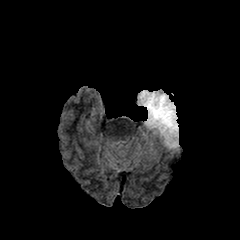
FLAIR MR image.
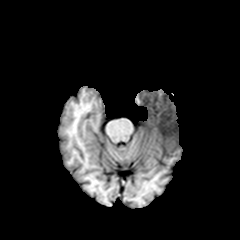
T1-weighted MR.
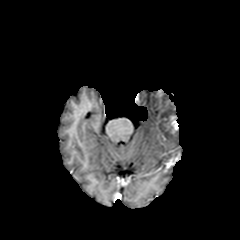
Post-contrast T1-weighted magnetic resonance.
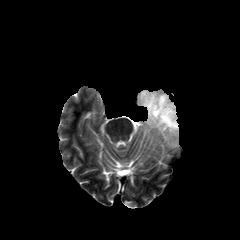
Same slice, T2-weighted magnetic resonance.
Axial view
{
  "peritumoral_edema": [
    "[x1=138, y1=90, x2=178, y2=148]"
  ],
  "enhancing_tumor": [
    "[x1=169, y1=116, x2=178, y2=133]"
  ]
}